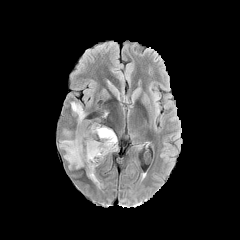
FLAIR MRI.
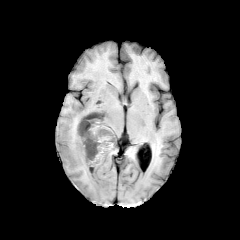
T1-weighted MRI of the same slice.
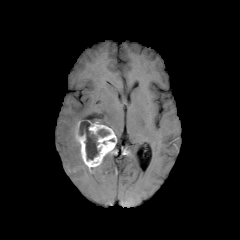
Same slice, post-contrast T1-weighted MRI.
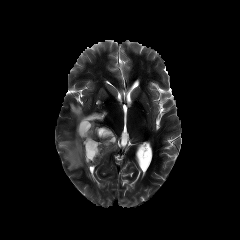
T2-weighted magnetic resonance.
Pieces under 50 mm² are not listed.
* necrotic tumor core: 79, 121, 109, 159
* enhancing tumor: 76, 118, 116, 173
* peritumoral edema: 59, 128, 101, 188; 71, 102, 84, 121